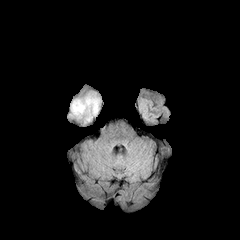
FLAIR MR.
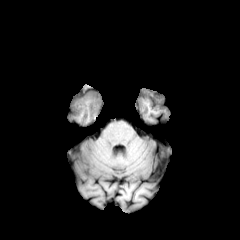
Same slice, T1-weighted MR image.
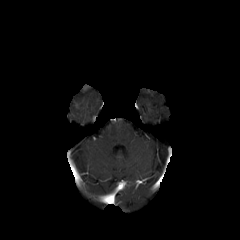
Post-contrast T1-weighted MR image of the same slice.
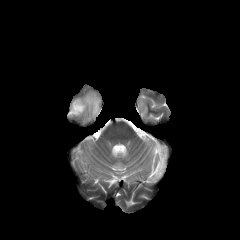
Same slice, T2-weighted MR image.
Brain. Axial slice.
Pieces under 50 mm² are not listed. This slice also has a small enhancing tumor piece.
peritumoral edema at {"x1": 70, "y1": 93, "x2": 100, "y2": 120}